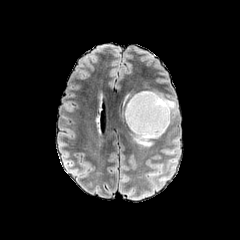
FLAIR MR image.
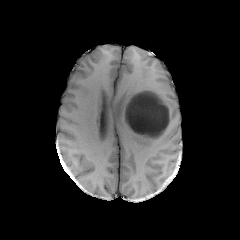
Same slice, T1-weighted MR.
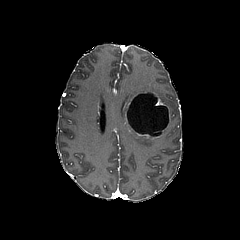
Post-contrast T1-weighted magnetic resonance.
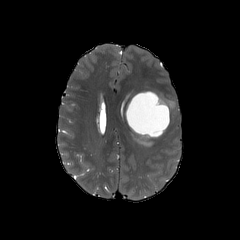
T2-weighted MRI.
240x240 px. Brain.
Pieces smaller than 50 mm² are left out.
peritumoral edema = <box>133,132,152,146</box>, <box>159,96,173,107</box>
enhancing tumor = <box>125,91,169,131</box>, <box>135,132,159,138</box>
necrotic tumor core = <box>127,93,168,136</box>